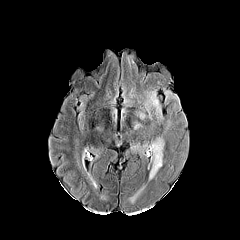
FLAIR MRI.
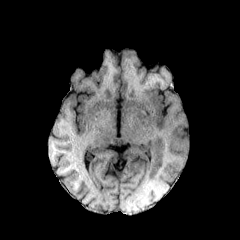
T1-weighted MRI.
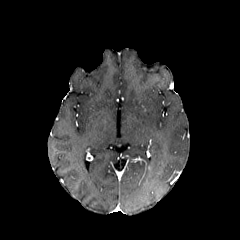
Same slice, post-contrast T1-weighted MR image.
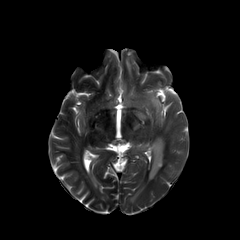
T2-weighted MR.
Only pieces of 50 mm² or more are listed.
The largest peritumoral edema region is located at left=133, top=137, right=164, bottom=179.